FLAIR magnetic resonance.
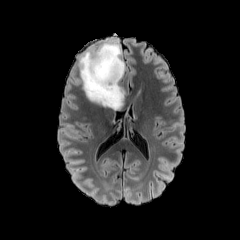
T1-weighted magnetic resonance.
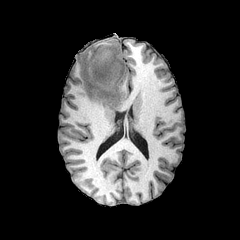
Post-contrast T1-weighted MRI.
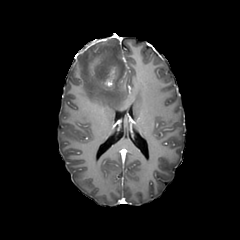
T2-weighted MR.
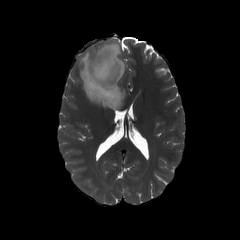
Axial plane
2 enhancing tumor regions are bounded by 104, 68, 115, 86; 89, 56, 103, 73. The peritumoral edema lies within 79, 42, 125, 110.